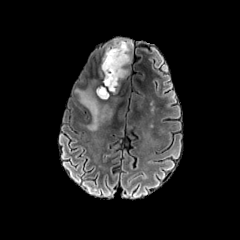
FLAIR MR image.
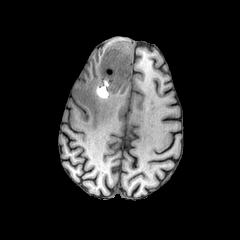
T1-weighted MR image.
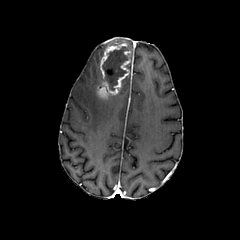
Post-contrast T1-weighted MR of the same slice.
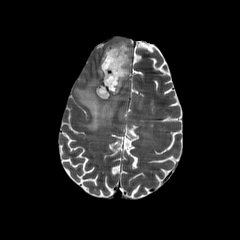
Same slice, T2-weighted magnetic resonance.
Brain
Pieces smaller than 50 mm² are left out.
peritumoral edema: bounding box {"x1": 110, "y1": 39, "x2": 132, "y2": 50}, {"x1": 75, "y1": 87, "x2": 121, "y2": 131}
necrotic tumor core: bounding box {"x1": 102, "y1": 46, "x2": 128, "y2": 90}
enhancing tumor: bounding box {"x1": 97, "y1": 41, "x2": 131, "y2": 99}